Brain; Image size 240x240; Slice 49 of 155
FLAIR MRI.
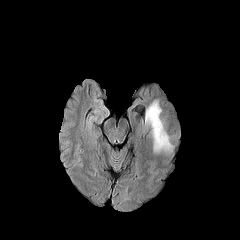
T1-weighted MRI.
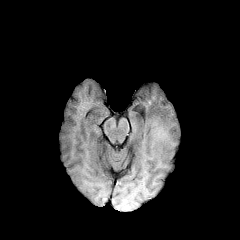
Post-contrast T1-weighted MR image.
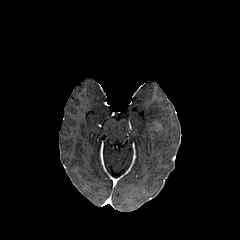
T2-weighted magnetic resonance.
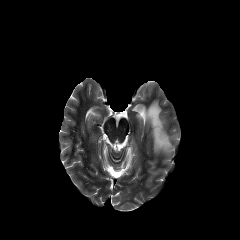
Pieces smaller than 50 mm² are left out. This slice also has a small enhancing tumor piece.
peritumoral edema: box=[145, 100, 173, 153]